Axial plane
FLAIR MR image.
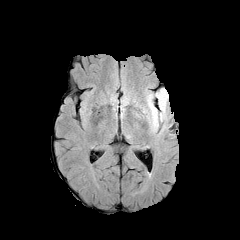
T1-weighted MR image.
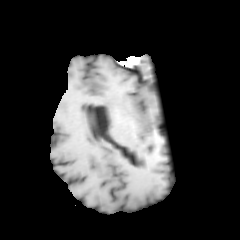
Post-contrast T1-weighted MR image.
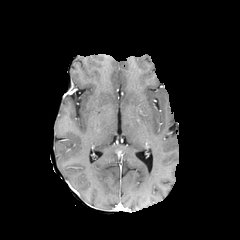
T2-weighted MR image.
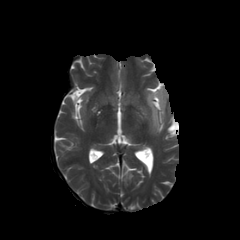
The peritumoral edema is at (136,90,164,132).